Slice 69 of 155 | Axial slice
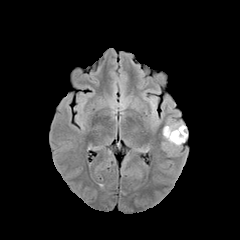
FLAIR magnetic resonance.
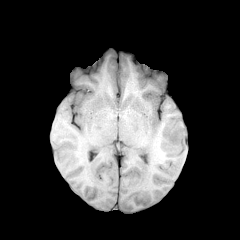
Same slice, T1-weighted MR image.
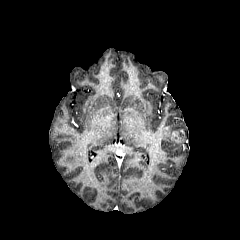
Post-contrast T1-weighted MR image.
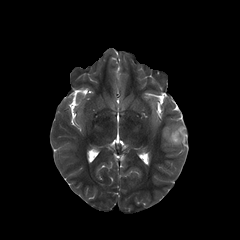
T2-weighted MR.
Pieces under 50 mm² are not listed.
Findings:
- peritumoral edema: region(162, 122, 187, 146)
- enhancing tumor: region(171, 131, 180, 142)